Brain; Slice 86 of 155
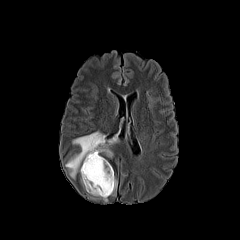
FLAIR MR image.
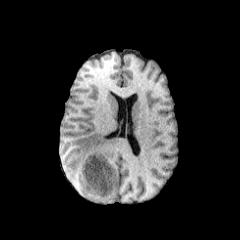
Same slice, T1-weighted MRI.
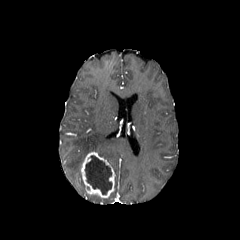
Post-contrast T1-weighted MR image.
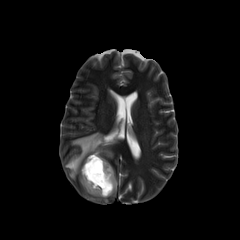
T2-weighted MR image of the same slice.
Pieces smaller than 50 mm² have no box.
Segmented structures:
- enhancing tumor: [81,151,115,198]
- peritumoral edema: [65,131,117,178]
- necrotic tumor core: [85,155,111,194]